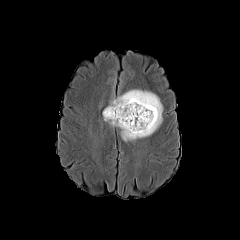
FLAIR MRI.
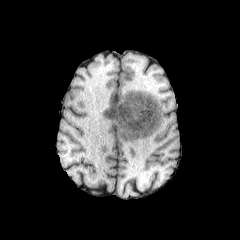
T1-weighted MR.
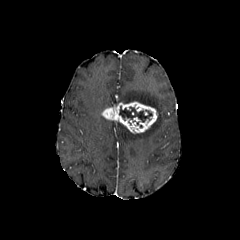
Post-contrast T1-weighted MR.
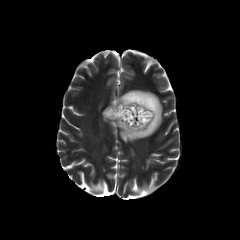
Same slice, T2-weighted MRI.
Head | Image size 240x240
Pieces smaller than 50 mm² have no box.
peritumoral edema — x1=104 y1=90 x2=162 y2=141
enhancing tumor — x1=102 y1=101 x2=157 y2=133
necrotic tumor core — x1=119 y1=106 x2=152 y2=122